240x240 px
FLAIR MR image.
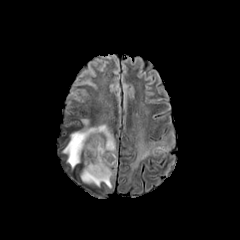
T1-weighted magnetic resonance.
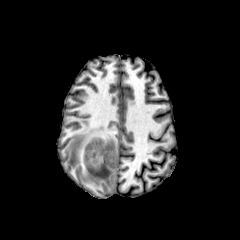
Post-contrast T1-weighted MR image.
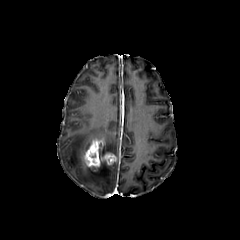
T2-weighted MRI.
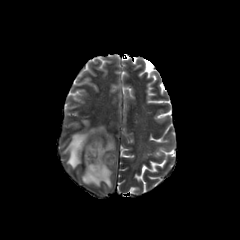
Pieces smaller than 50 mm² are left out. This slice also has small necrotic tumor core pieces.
enhancing tumor: {"x1": 84, "y1": 138, "x2": 117, "y2": 168}
peritumoral edema: {"x1": 63, "y1": 124, "x2": 115, "y2": 168}, {"x1": 81, "y1": 162, "x2": 117, "y2": 188}